FLAIR magnetic resonance.
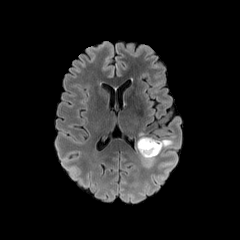
T1-weighted magnetic resonance.
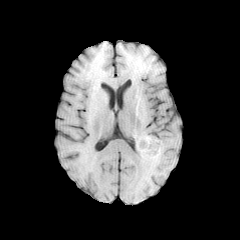
Post-contrast T1-weighted magnetic resonance.
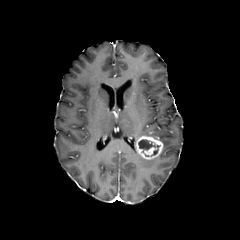
T2-weighted magnetic resonance.
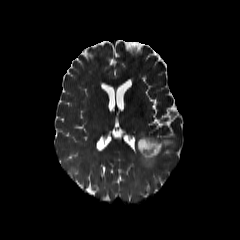
Brain. 240x240.
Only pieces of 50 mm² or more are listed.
The 2 largest peritumoral edema regions are located at (x1=160, y1=139, x2=172, y2=148), (x1=139, y1=155, x2=156, y2=167). The largest necrotic tumor core region appears at (x1=138, y1=139, x2=155, y2=149). The enhancing tumor is at (x1=136, y1=136, x2=163, y2=159).